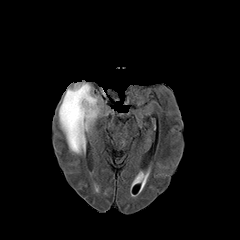
FLAIR MR.
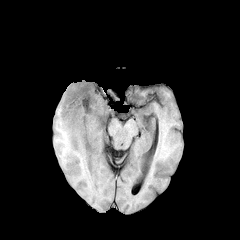
Same slice, T1-weighted MRI.
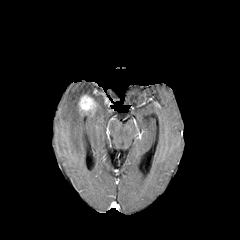
Post-contrast T1-weighted MR.
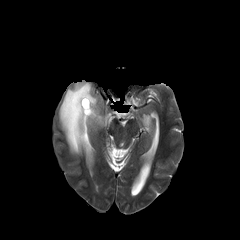
T2-weighted MR.
Axial plane.
The enhancing tumor is bounded by (x1=78, y1=94, x2=97, y2=115). The peritumoral edema lies within (x1=58, y1=82, x2=101, y2=154).